Axial slice.
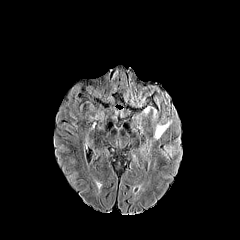
FLAIR magnetic resonance.
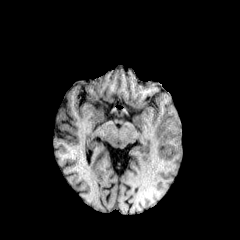
Same slice, T1-weighted MR image.
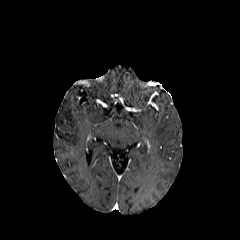
Post-contrast T1-weighted magnetic resonance of the same slice.
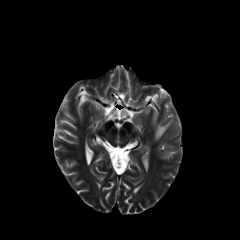
Same slice, T2-weighted MR image.
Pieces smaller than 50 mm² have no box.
peritumoral_edema:
  - x1=154 y1=120 x2=171 y2=139
  - x1=164 y1=146 x2=172 y2=156